FLAIR MR.
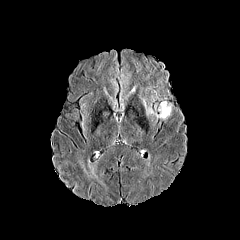
T1-weighted magnetic resonance.
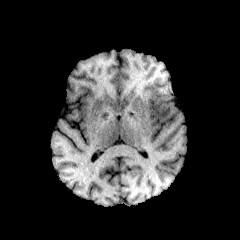
Post-contrast T1-weighted magnetic resonance.
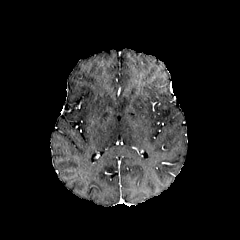
T2-weighted MR.
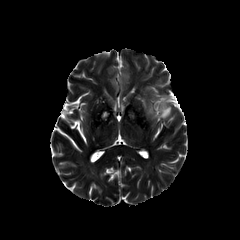
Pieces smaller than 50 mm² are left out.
peritumoral_edema:
  - [155,101,171,119]
  - [143,99,153,114]